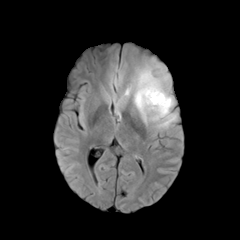
FLAIR MR.
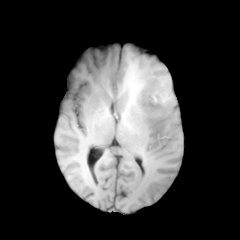
T1-weighted MR image.
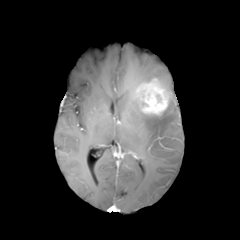
Post-contrast T1-weighted MR image of the same slice.
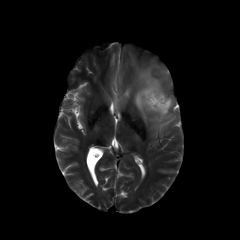
T2-weighted magnetic resonance.
Head
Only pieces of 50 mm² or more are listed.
The enhancing tumor appears at (x1=137, y1=79, x2=168, y2=114). The largest peritumoral edema region is bounded by (x1=134, y1=66, x2=176, y2=130).